FLAIR MRI.
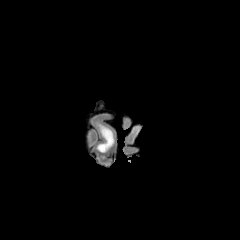
T1-weighted MRI.
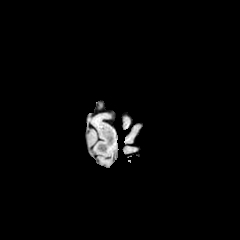
Post-contrast T1-weighted MR.
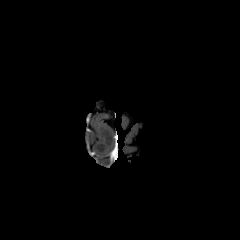
T2-weighted magnetic resonance.
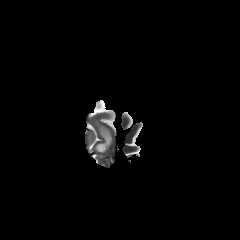
Axial view
peritumoral edema — bbox=[96, 123, 113, 152]